FLAIR MRI.
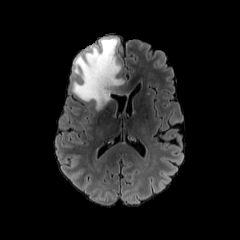
T1-weighted MR image.
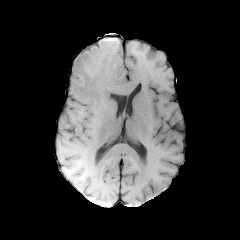
Post-contrast T1-weighted MR.
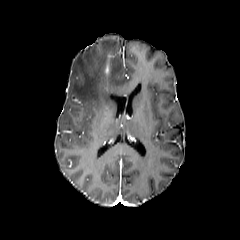
T2-weighted MR.
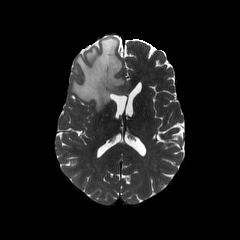
Head | Axial plane | 240x240
{"enhancing_tumor": ["x1=103, y1=54, x2=111, y2=78"], "peritumoral_edema": ["x1=71, y1=37, x2=129, y2=110"]}